Image size 240x240; Axial slice; Image width 240 mm, 1.00 mm slice spacing
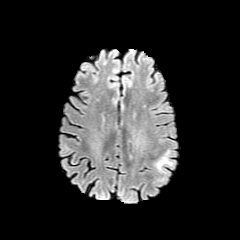
FLAIR MR.
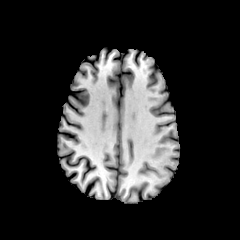
T1-weighted MRI of the same slice.
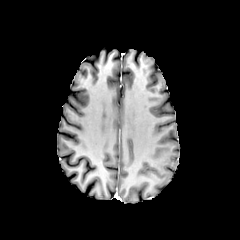
Post-contrast T1-weighted MR image.
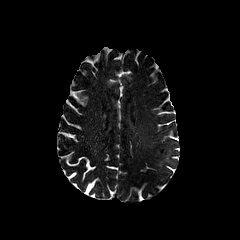
Same slice, T2-weighted MR.
peritumoral edema — (156, 157, 171, 169)